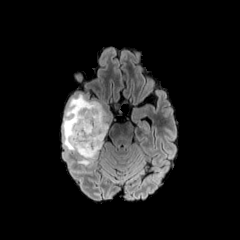
FLAIR MR image.
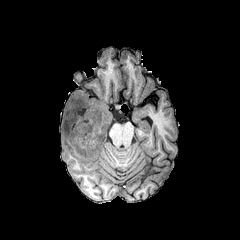
T1-weighted MRI of the same slice.
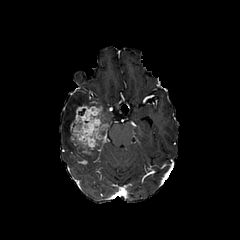
Post-contrast T1-weighted MR of the same slice.
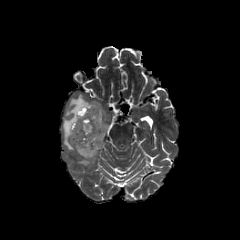
Same slice, T2-weighted MRI.
Axial plane
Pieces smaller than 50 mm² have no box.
The 2 largest necrotic tumor core regions are located at 73:139:95:159, 90:115:105:128. The 2 largest peritumoral edema regions are bounded by 62:93:101:159, 88:144:102:164. The largest enhancing tumor region lies within 69:105:108:164.